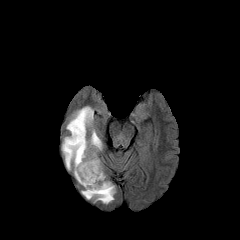
FLAIR MRI.
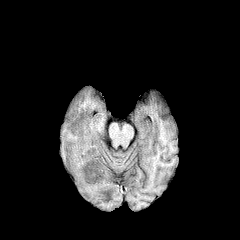
T1-weighted MRI.
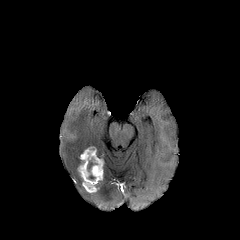
Post-contrast T1-weighted MR image of the same slice.
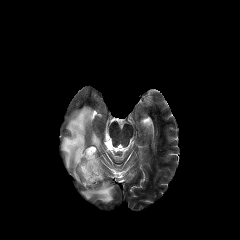
T2-weighted MRI.
Head | 240x240
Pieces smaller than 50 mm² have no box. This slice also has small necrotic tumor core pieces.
Annotated regions:
- enhancing tumor: bbox(77, 146, 103, 192)
- peritumoral edema: bbox(61, 106, 102, 184); bbox(81, 173, 115, 203)